Brain, Image width 240 mm, 1.00 mm slice spacing, 240x240 px
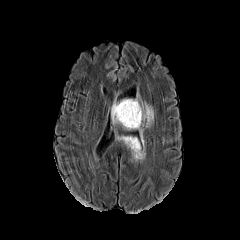
FLAIR MR.
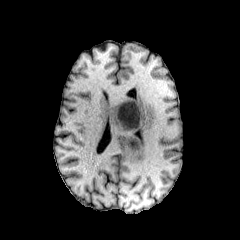
T1-weighted MRI.
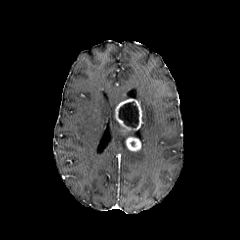
Same slice, post-contrast T1-weighted MRI.
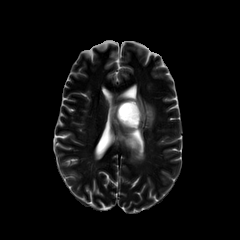
T2-weighted MR image of the same slice.
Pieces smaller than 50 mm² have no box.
Findings:
* enhancing tumor: bbox=[115, 98, 142, 131]; bbox=[125, 136, 141, 151]
* peritumoral edema: bbox=[111, 100, 118, 124]; bbox=[131, 94, 153, 161]; bbox=[117, 135, 128, 142]
* necrotic tumor core: bbox=[118, 102, 138, 127]